FLAIR MRI.
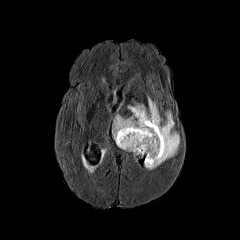
T1-weighted MR image.
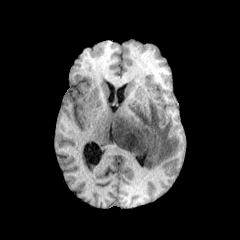
Post-contrast T1-weighted MR image.
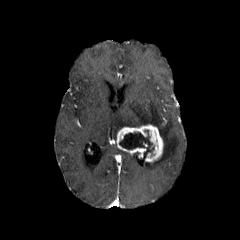
T2-weighted MR image.
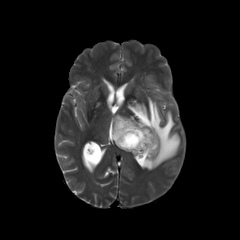
Head, Axial view
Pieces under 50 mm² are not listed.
necrotic tumor core: (119,130,154,152) | enhancing tumor: (116,124,163,162) | peritumoral edema: (112,97,179,169)